Slice 51/155
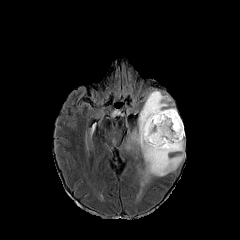
FLAIR MR.
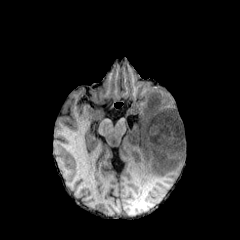
T1-weighted MRI of the same slice.
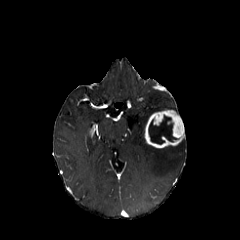
Post-contrast T1-weighted magnetic resonance.
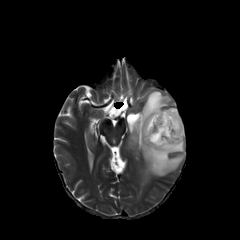
T2-weighted MR image of the same slice.
peritumoral edema — region(127, 90, 184, 184)
necrotic tumor core — region(149, 115, 176, 144)
enhancing tumor — region(144, 110, 184, 148)